FLAIR MRI.
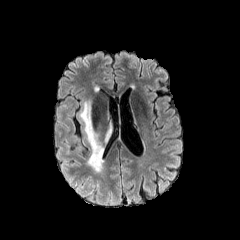
T1-weighted magnetic resonance.
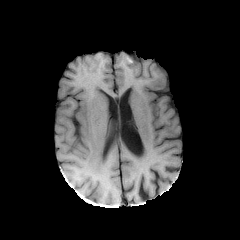
Post-contrast T1-weighted MR.
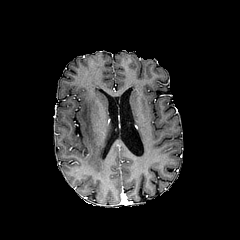
T2-weighted magnetic resonance.
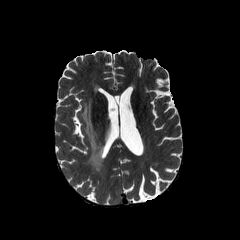
Brain.
Segmented structures:
• peritumoral edema: bbox=[80, 100, 110, 171]